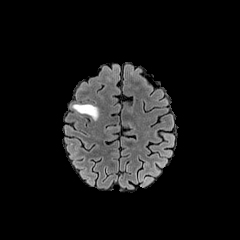
FLAIR magnetic resonance.
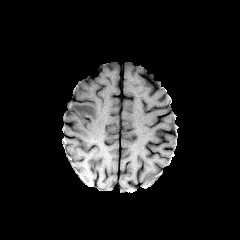
T1-weighted MRI.
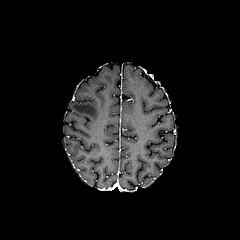
Post-contrast T1-weighted MRI.
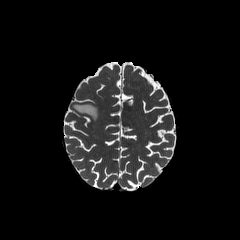
T2-weighted MR.
Head
peritumoral edema — (72, 103, 98, 120)